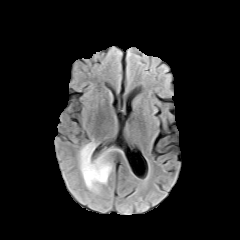
FLAIR magnetic resonance.
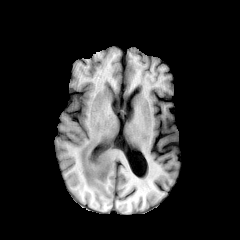
T1-weighted MRI.
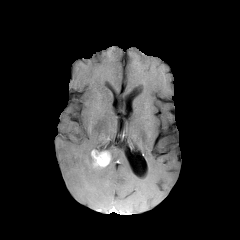
Post-contrast T1-weighted MR.
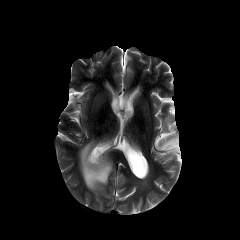
Same slice, T2-weighted MR image.
240x240 px
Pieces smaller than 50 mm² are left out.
The largest peritumoral edema region is at (78, 139, 112, 193). The enhancing tumor is at (91, 150, 110, 168).